FLAIR MR image.
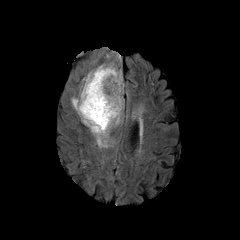
T1-weighted MR image.
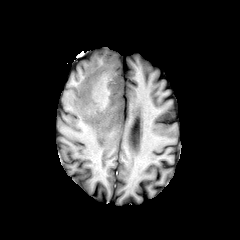
Post-contrast T1-weighted MR image.
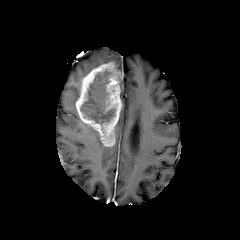
T2-weighted magnetic resonance.
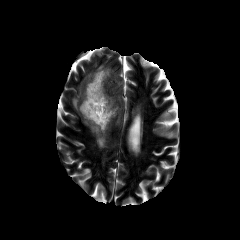
240x240 px. Axial slice.
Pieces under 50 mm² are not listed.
- necrotic tumor core: 80:70:115:125
- peritumoral edema: 83:123:107:148, 71:85:80:111
- enhancing tumor: 75:62:122:146